Head
FLAIR magnetic resonance.
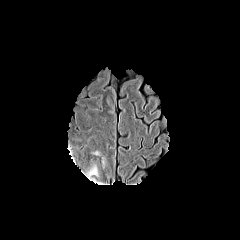
T1-weighted MR image.
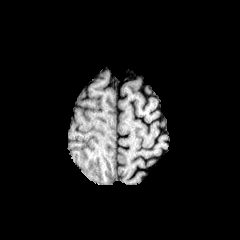
Post-contrast T1-weighted MR image.
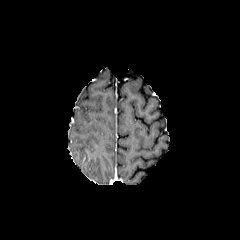
T2-weighted MR image.
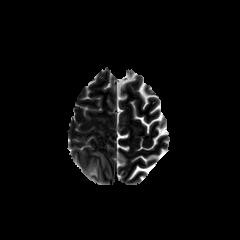
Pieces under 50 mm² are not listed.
{
  "peritumoral_edema": [
    "region(88, 167, 97, 175)"
  ]
}